Head | Axial slice | Slice index 129
FLAIR MR.
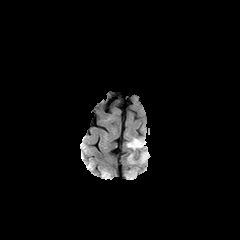
T1-weighted MR.
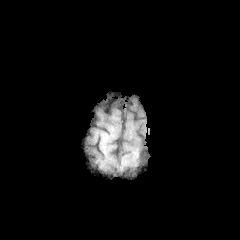
Post-contrast T1-weighted MR image.
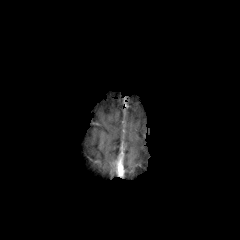
T2-weighted MR.
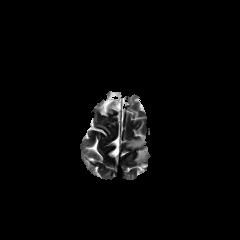
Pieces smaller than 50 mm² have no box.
The 2 largest peritumoral edema regions are located at l=141, t=152, r=148, b=162; l=127, t=138, r=145, b=149.